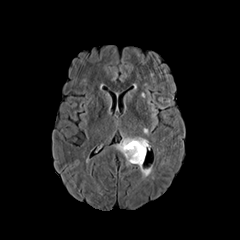
FLAIR MRI.
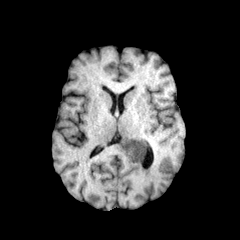
T1-weighted magnetic resonance.
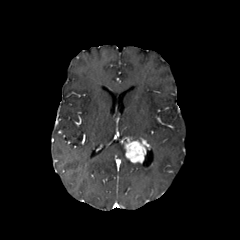
Post-contrast T1-weighted magnetic resonance of the same slice.
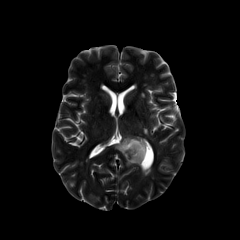
Same slice, T2-weighted MR.
Head
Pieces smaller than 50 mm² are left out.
The enhancing tumor lies within bbox=[121, 137, 148, 163]. The 2 largest peritumoral edema regions are located at bbox=[126, 158, 152, 176]; bbox=[116, 143, 125, 155].